Slice index 106, Image width 240 mm, 1.00 mm slice spacing, Axial plane
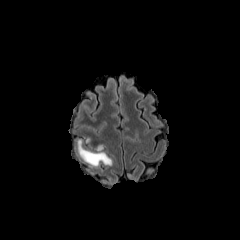
FLAIR MR.
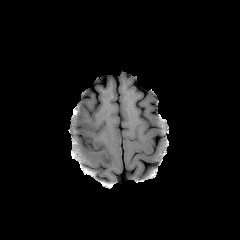
T1-weighted MR image.
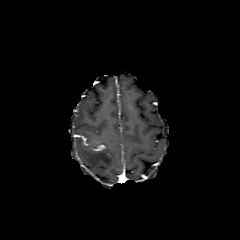
Post-contrast T1-weighted MR image.
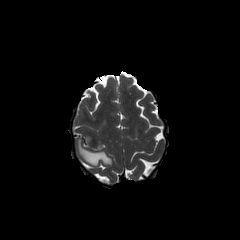
T2-weighted MR image of the same slice.
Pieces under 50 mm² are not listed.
enhancing tumor = l=94, t=144, r=105, b=150
peritumoral edema = l=76, t=139, r=112, b=166